Image size 240x240
FLAIR MRI.
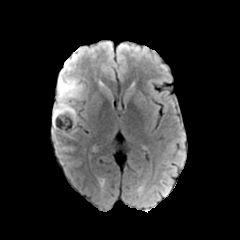
T1-weighted MR image.
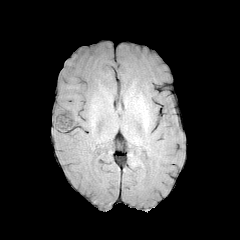
Post-contrast T1-weighted magnetic resonance.
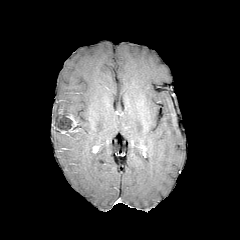
T2-weighted MRI.
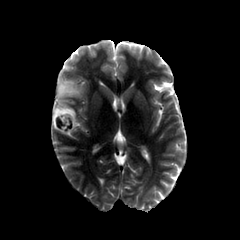
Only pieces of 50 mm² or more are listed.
{"peritumoral_edema": ["52 81 85 136"], "enhancing_tumor": ["57 114 78 135"], "necrotic_tumor_core": ["56 115 72 130"]}